Brain. Axial plane. Image covers 240 mm x 240 mm.
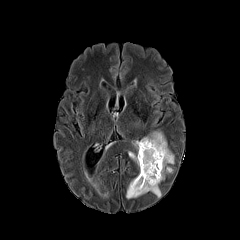
FLAIR MR image.
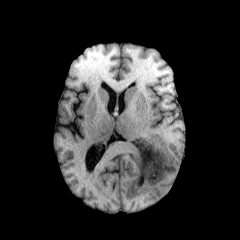
T1-weighted magnetic resonance of the same slice.
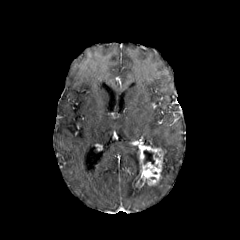
Same slice, post-contrast T1-weighted MR.
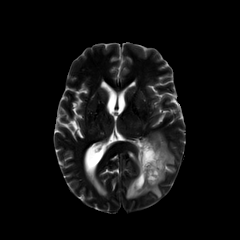
T2-weighted MRI.
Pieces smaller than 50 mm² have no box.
The largest necrotic tumor core region is located at <box>143,150,154,164</box>. The enhancing tumor appears at <box>135,140,163,188</box>. The peritumoral edema is located at <box>126,131,174,198</box>.